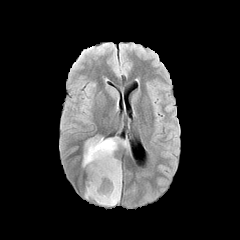
FLAIR magnetic resonance.
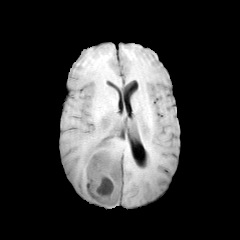
T1-weighted MR image of the same slice.
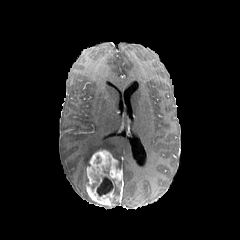
Post-contrast T1-weighted MR image.
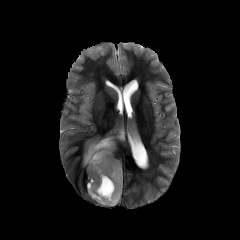
T2-weighted magnetic resonance.
Brain; 240x240; Axial slice
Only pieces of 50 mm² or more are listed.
enhancing_tumor:
  - (86, 150, 122, 206)
peritumoral_edema:
  - (83, 135, 128, 166)
necrotic_tumor_core:
  - (97, 176, 113, 196)